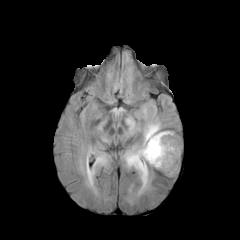
FLAIR magnetic resonance.
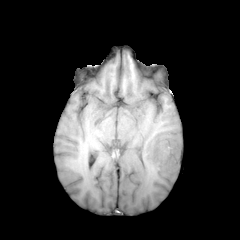
T1-weighted MR.
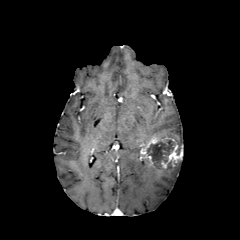
Post-contrast T1-weighted MRI of the same slice.
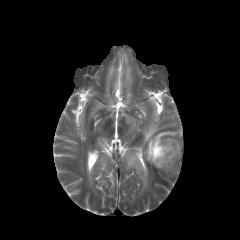
T2-weighted MR image.
240x240. Brain.
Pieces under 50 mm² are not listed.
necrotic tumor core: <bbox>147, 140, 173, 162</bbox>
peritumoral edema: <bbox>153, 162, 178, 175</bbox>, <bbox>123, 120, 181, 194</bbox>, <bbox>96, 155, 107, 165</bbox>, <bbox>87, 168, 94, 185</bbox>
enhancing tumor: <bbox>140, 132, 182, 169</bbox>